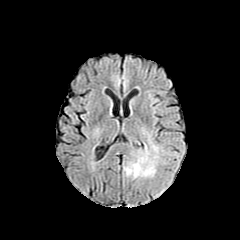
FLAIR magnetic resonance.
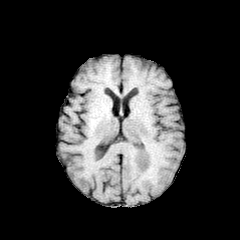
T1-weighted MRI.
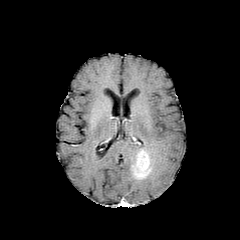
Post-contrast T1-weighted magnetic resonance of the same slice.
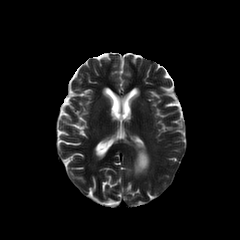
T2-weighted MR.
Brain.
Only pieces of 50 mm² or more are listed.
enhancing tumor at 132:150:154:177
peritumoral edema at 146:160:156:176, 123:144:157:178